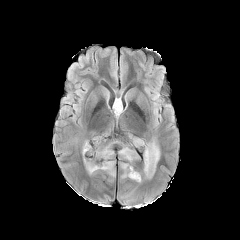
FLAIR MRI.
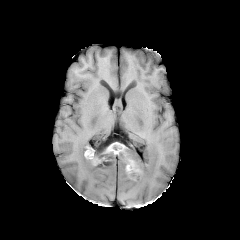
T1-weighted magnetic resonance of the same slice.
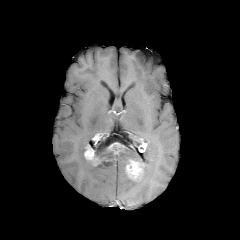
Post-contrast T1-weighted magnetic resonance.
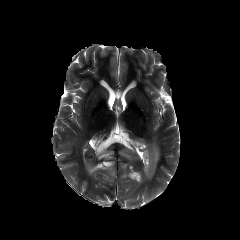
Same slice, T2-weighted magnetic resonance.
Brain. 240x240.
enhancing tumor: 126, 160, 144, 180; 84, 144, 99, 165 | peritumoral edema: 82, 139, 115, 181; 135, 141, 160, 183; 121, 163, 128, 178; 132, 138, 141, 146; 119, 146, 142, 162